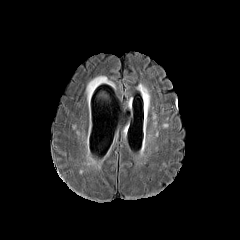
FLAIR MRI.
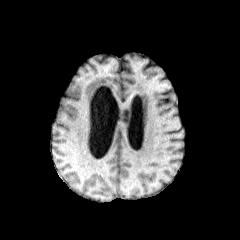
Same slice, T1-weighted MR.
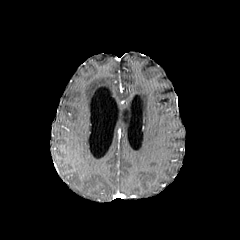
Post-contrast T1-weighted magnetic resonance.
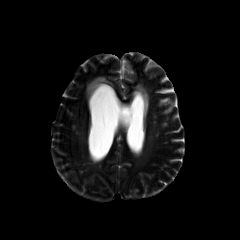
Same slice, T2-weighted MRI.
The peritumoral edema lies within (86,76,112,99).